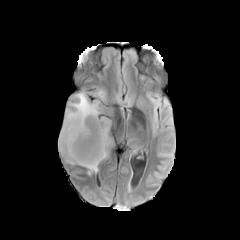
FLAIR MR.
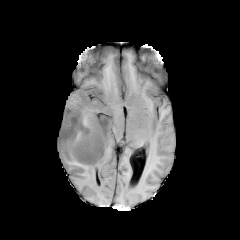
T1-weighted MRI of the same slice.
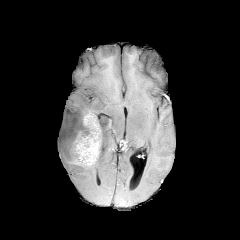
Post-contrast T1-weighted magnetic resonance.
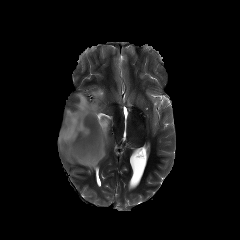
T2-weighted MR.
Brain.
enhancing tumor = [72, 115, 102, 165]
peritumoral edema = [58, 91, 111, 174], [92, 89, 104, 98]